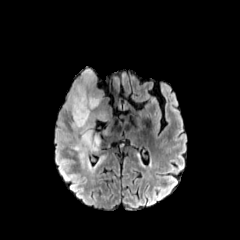
FLAIR MR image.
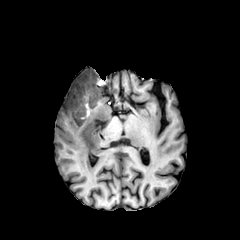
T1-weighted MRI.
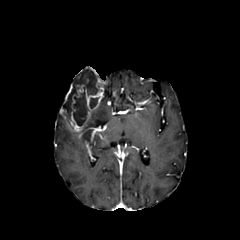
Post-contrast T1-weighted magnetic resonance.
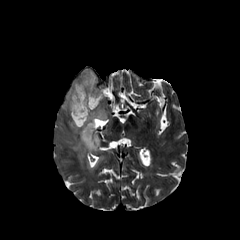
T2-weighted MR image.
Head; Axial plane; 240x240 px
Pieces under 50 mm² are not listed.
<segmentation>
  <necrotic_tumor_core>(left=89, top=98, right=98, bottom=108), (left=73, top=90, right=88, bottom=125)</necrotic_tumor_core>
  <peritumoral_edema>(left=71, top=104, right=106, bottom=169), (left=63, top=68, right=98, bottom=115)</peritumoral_edema>
  <enhancing_tumor>(left=60, top=79, right=103, bottom=136)</enhancing_tumor>
</segmentation>